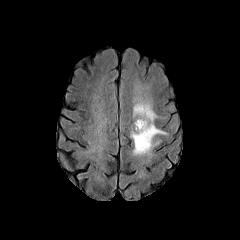
FLAIR MR image.
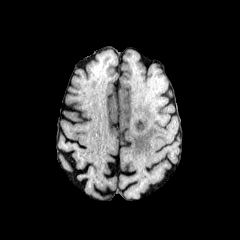
Same slice, T1-weighted MRI.
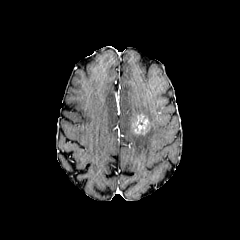
Post-contrast T1-weighted MR image.
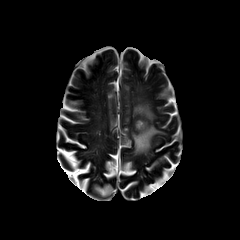
T2-weighted MRI of the same slice.
240x240. Axial slice.
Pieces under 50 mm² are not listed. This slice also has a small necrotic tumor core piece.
Annotated regions:
• enhancing tumor: 133, 114, 149, 134
• peritumoral edema: 130, 97, 166, 155